FLAIR magnetic resonance.
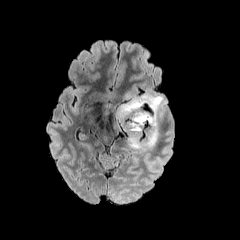
T1-weighted MR.
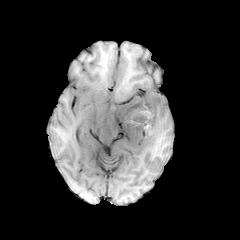
Post-contrast T1-weighted MRI.
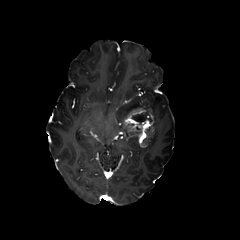
T2-weighted MRI.
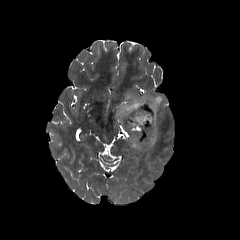
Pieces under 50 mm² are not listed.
enhancing tumor = bbox=[123, 108, 154, 147]
necrotic tumor core = bbox=[132, 112, 152, 122]
peritumoral edema = bbox=[116, 91, 166, 150]